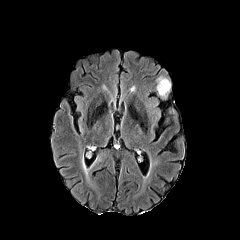
FLAIR MR.
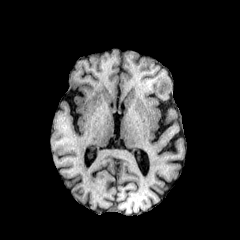
T1-weighted magnetic resonance.
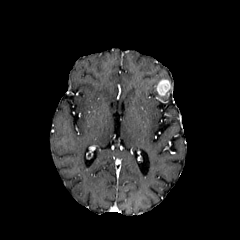
Same slice, post-contrast T1-weighted MRI.
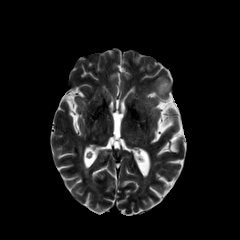
T2-weighted magnetic resonance.
Image size 240x240; Axial plane
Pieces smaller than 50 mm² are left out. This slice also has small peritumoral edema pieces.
{
  "enhancing_tumor": [
    "156, 79, 170, 96"
  ]
}